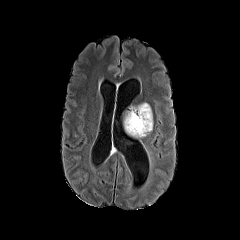
FLAIR magnetic resonance.
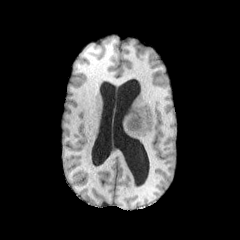
T1-weighted MR image of the same slice.
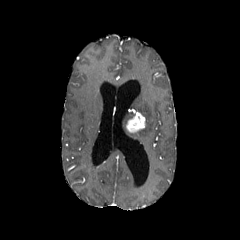
Post-contrast T1-weighted MR image.
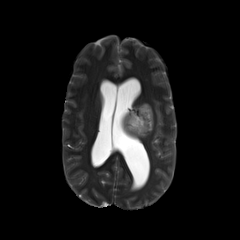
Same slice, T2-weighted MR.
Brain | Axial plane
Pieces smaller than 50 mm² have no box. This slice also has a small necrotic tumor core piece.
The enhancing tumor is bounded by l=126, t=111, r=145, b=133. 2 peritumoral edema regions are located at l=127, t=102, r=153, b=137; l=124, t=112, r=133, b=129.